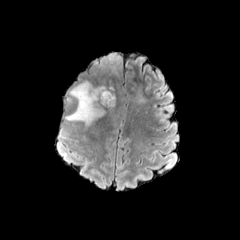
FLAIR MR.
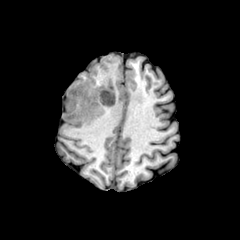
T1-weighted magnetic resonance.
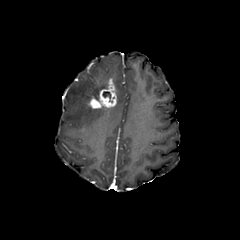
Post-contrast T1-weighted MR image.
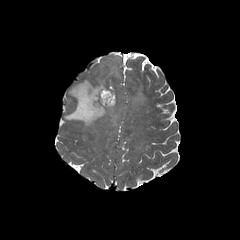
Same slice, T2-weighted MRI.
Brain; 240x240 px
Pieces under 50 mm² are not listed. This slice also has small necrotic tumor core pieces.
enhancing tumor: (85,79,116,109) | peritumoral edema: (65,54,120,127), (137,85,145,102)